Axial slice. Brain.
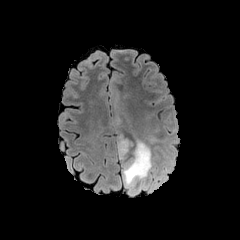
FLAIR MR.
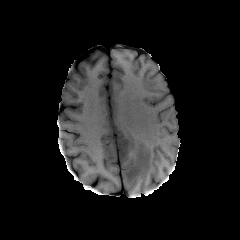
T1-weighted magnetic resonance.
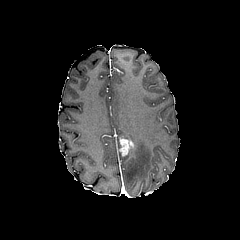
Post-contrast T1-weighted MRI of the same slice.
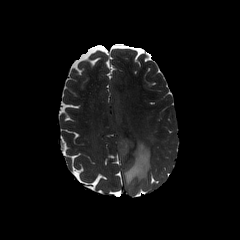
T2-weighted magnetic resonance.
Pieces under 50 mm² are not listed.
The enhancing tumor is at x1=119, y1=139, x2=133, y2=155. The 2 largest peritumoral edema regions are located at x1=155, y1=171, x2=163, y2=182; x1=117, y1=140, x2=158, y2=194.